FLAIR MR image.
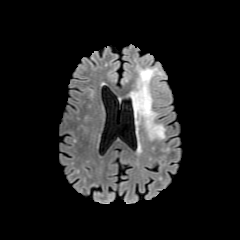
T1-weighted MRI.
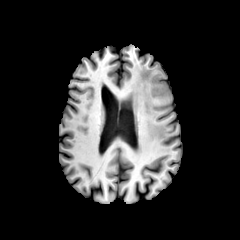
Post-contrast T1-weighted MR.
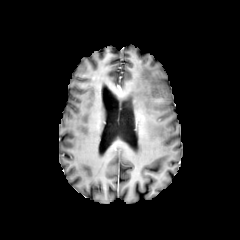
T2-weighted MR image.
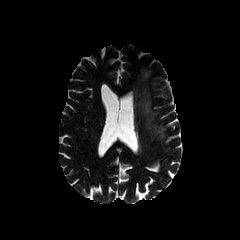
Axial slice
peritumoral_edema:
  - bbox(133, 64, 165, 139)